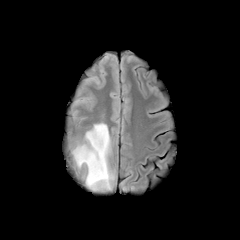
FLAIR MRI.
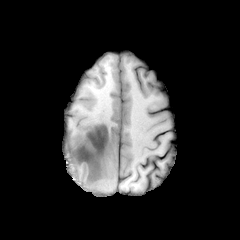
T1-weighted MRI of the same slice.
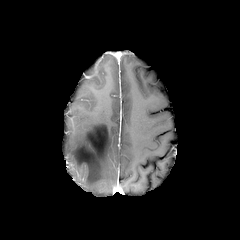
Same slice, post-contrast T1-weighted magnetic resonance.
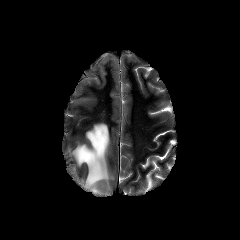
T2-weighted magnetic resonance.
Brain; 240x240
peritumoral edema — <bbox>72, 123, 114, 191</bbox>